FLAIR magnetic resonance.
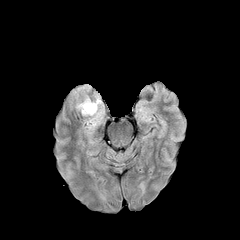
T1-weighted MR.
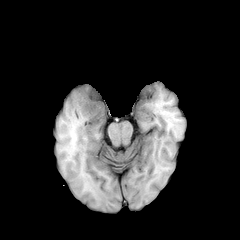
Post-contrast T1-weighted magnetic resonance.
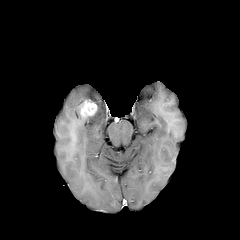
T2-weighted magnetic resonance.
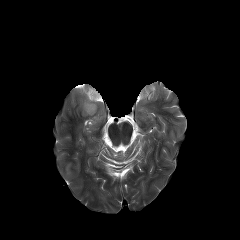
Head | 240x240
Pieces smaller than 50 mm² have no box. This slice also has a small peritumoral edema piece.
enhancing tumor: region(80, 99, 97, 116)